FLAIR MRI.
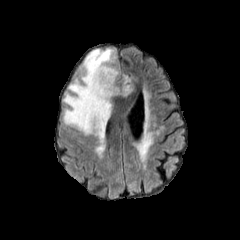
T1-weighted MR.
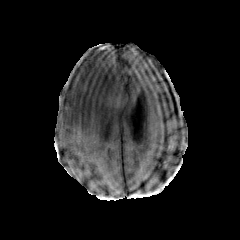
Post-contrast T1-weighted MRI.
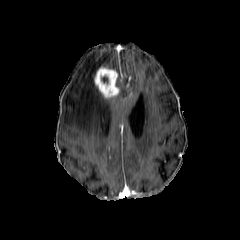
T2-weighted MR.
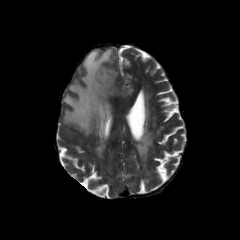
240x240 | Axial slice | Brain
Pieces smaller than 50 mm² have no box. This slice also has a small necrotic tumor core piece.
enhancing tumor: [x1=94, y1=65, x2=125, y2=100]
peritumoral edema: [x1=62, y1=48, x2=133, y2=136]